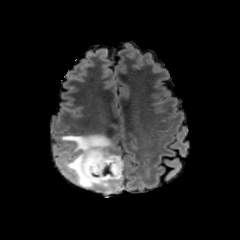
FLAIR MR image.
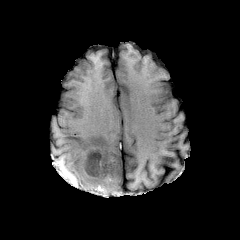
T1-weighted magnetic resonance of the same slice.
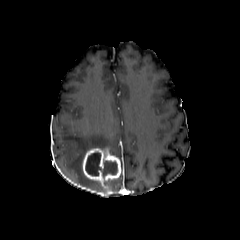
Same slice, post-contrast T1-weighted MRI.
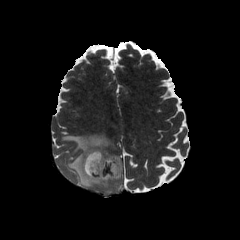
Same slice, T2-weighted MRI.
{"peritumoral_edema": ["[61,134,123,191]"], "enhancing_tumor": ["[82,148,121,191]"], "necrotic_tumor_core": ["[85,152,117,177]"]}